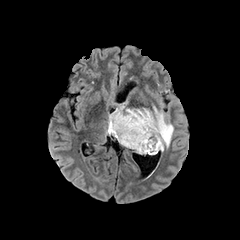
FLAIR MR.
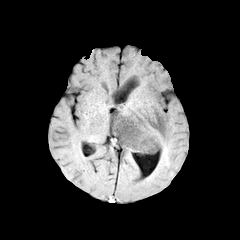
T1-weighted magnetic resonance of the same slice.
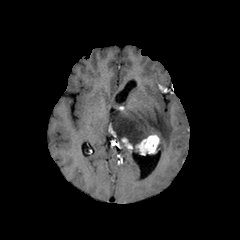
Post-contrast T1-weighted MR image.
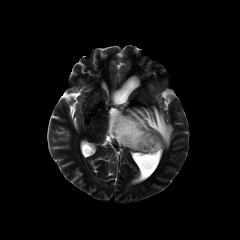
T2-weighted MRI.
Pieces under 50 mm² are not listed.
Findings:
• enhancing tumor: box(135, 134, 159, 155); box(121, 137, 132, 149); box(108, 123, 116, 136)
• peritumoral edema: box(108, 101, 173, 151)